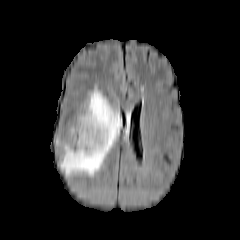
FLAIR MR image.
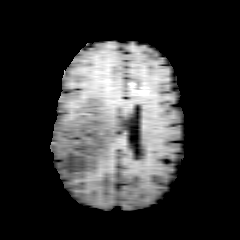
T1-weighted MR image.
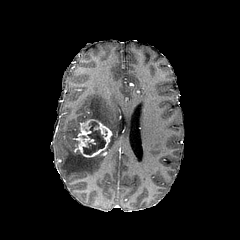
Same slice, post-contrast T1-weighted MR.
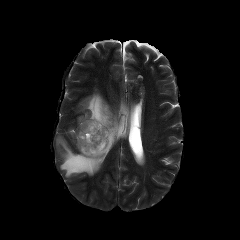
Same slice, T2-weighted MRI.
Head
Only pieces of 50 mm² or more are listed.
peritumoral edema: bounding box [56,90,121,176]
enhancing tumor: bounding box [76,119,112,157]
necrotic tumor core: bounding box [83,121,105,154]